FLAIR magnetic resonance.
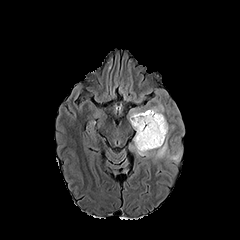
T1-weighted MR image.
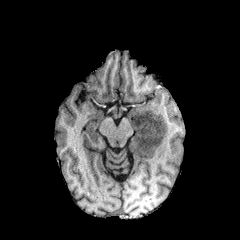
Post-contrast T1-weighted MRI.
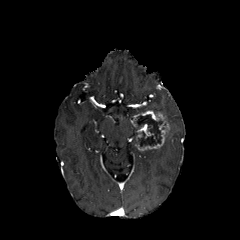
T2-weighted MR image.
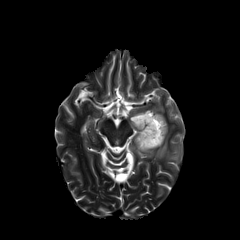
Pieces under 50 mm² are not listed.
necrotic tumor core = 134, 114, 162, 147
peritumoral edema = 131, 133, 180, 160; 150, 105, 163, 113
enhancing tumor = 130, 110, 168, 151; 136, 124, 153, 140